FLAIR MRI.
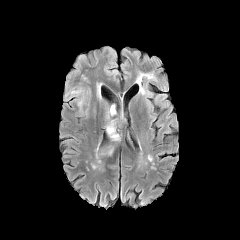
T1-weighted MR.
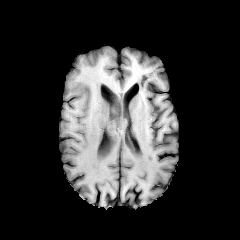
Post-contrast T1-weighted MR image.
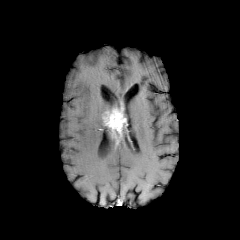
T2-weighted MRI.
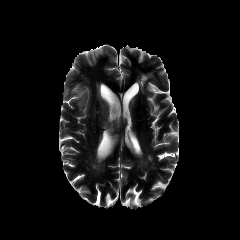
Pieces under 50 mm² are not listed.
- peritumoral edema: bbox(71, 89, 83, 94); bbox(105, 126, 120, 141)
- enhancing tumor: bbox(104, 106, 125, 137)